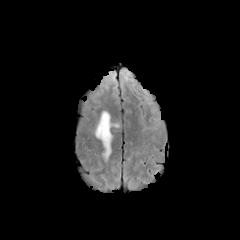
FLAIR MR image.
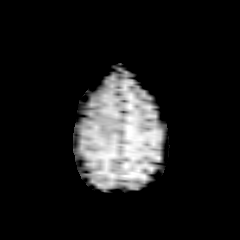
Same slice, T1-weighted MR image.
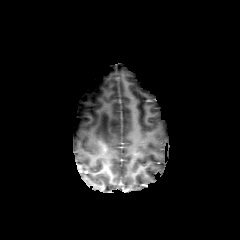
Post-contrast T1-weighted MR image of the same slice.
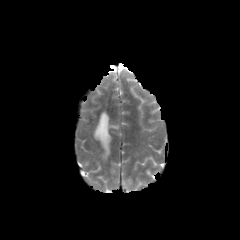
T2-weighted magnetic resonance.
Image size 240x240
peritumoral edema: <box>95,111,119,157</box>